FLAIR MR.
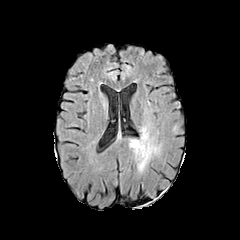
T1-weighted MR.
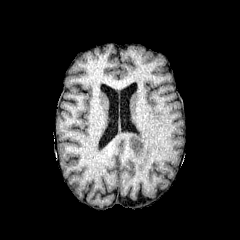
Post-contrast T1-weighted MR.
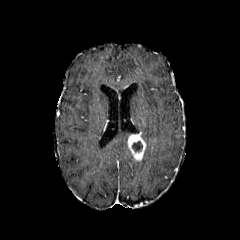
T2-weighted MR image.
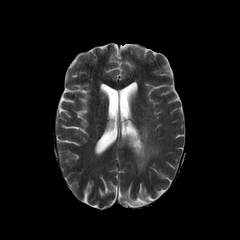
240x240; Brain
<segmentation>
  <necrotic_tumor_core>box=[132, 141, 142, 151]</necrotic_tumor_core>
  <enhancing_tumor>box=[128, 134, 146, 161]</enhancing_tumor>
  <peritumoral_edema>box=[136, 126, 159, 172]</peritumoral_edema>
</segmentation>